Axial plane | Head
FLAIR MR.
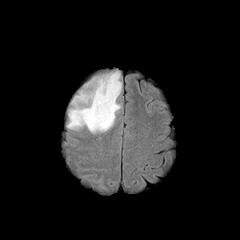
T1-weighted MR.
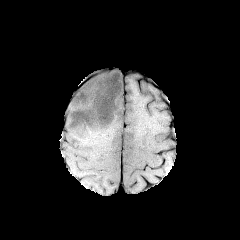
Post-contrast T1-weighted MR.
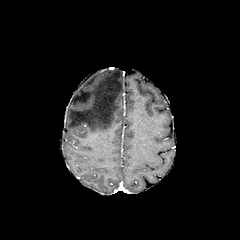
T2-weighted MR image.
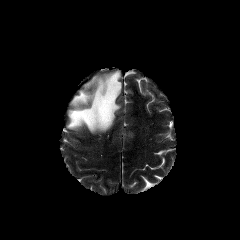
- peritumoral edema: (67,70,121,133)